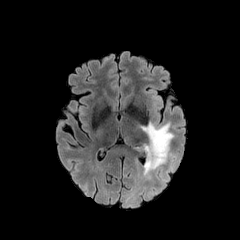
FLAIR magnetic resonance.
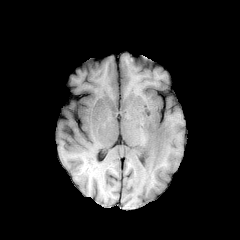
T1-weighted magnetic resonance.
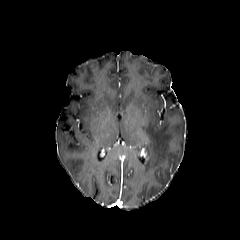
Post-contrast T1-weighted MR image.
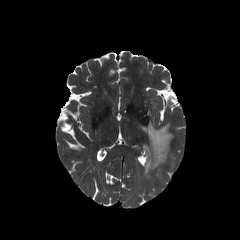
Same slice, T2-weighted MR.
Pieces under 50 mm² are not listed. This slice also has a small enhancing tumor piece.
The largest peritumoral edema region is bounded by x1=141 y1=121 x2=175 y2=180.